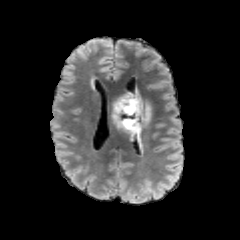
FLAIR magnetic resonance.
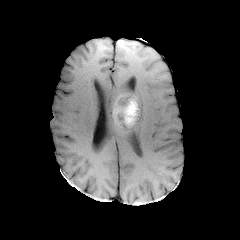
Same slice, T1-weighted MR image.
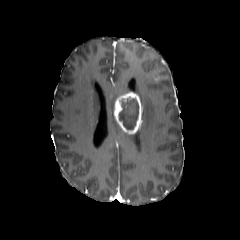
Post-contrast T1-weighted MR of the same slice.
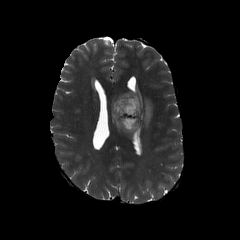
Same slice, T2-weighted MRI.
Head, Image size 240x240
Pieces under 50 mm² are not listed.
peritumoral edema — <box>130,90,151,144</box>, <box>112,101,123,131</box>
enhancing tumor — <box>114,92,142,134</box>
necrotic tumor core — <box>119,98,138,129</box>